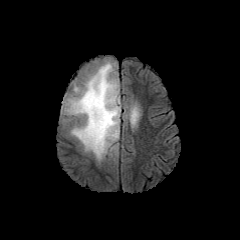
FLAIR MR.
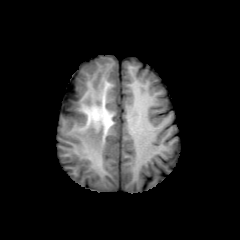
T1-weighted MR image of the same slice.
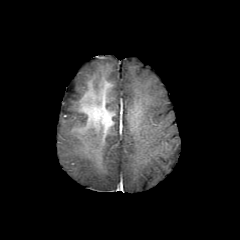
Post-contrast T1-weighted MR image.
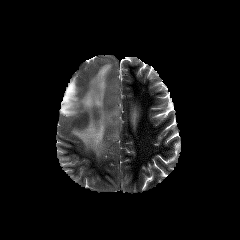
T2-weighted MRI.
Image size 240x240, Head
* peritumoral edema: 61:59:120:161, 123:91:141:130